Slice index 51; Image size 240x240
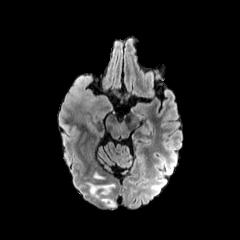
FLAIR MRI.
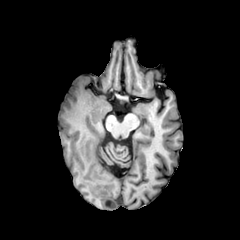
T1-weighted MR image.
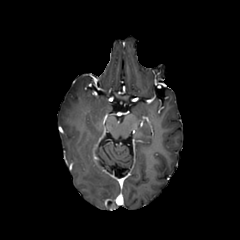
Post-contrast T1-weighted MR image.
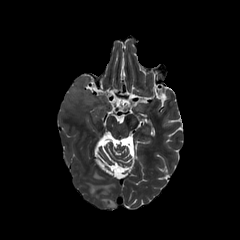
Same slice, T2-weighted MRI.
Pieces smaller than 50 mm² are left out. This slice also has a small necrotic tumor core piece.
enhancing tumor: region(104, 199, 113, 207) | peritumoral edema: region(90, 184, 113, 197); region(70, 75, 93, 104)